Axial slice, Slice 80/155, Head, Image width 240 mm
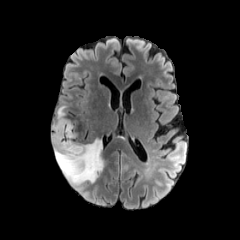
FLAIR MRI.
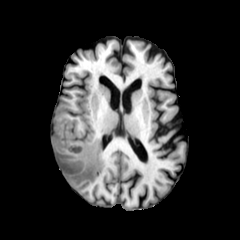
T1-weighted magnetic resonance.
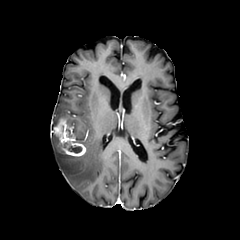
Post-contrast T1-weighted magnetic resonance.
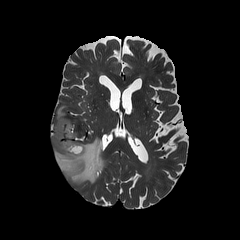
T2-weighted magnetic resonance.
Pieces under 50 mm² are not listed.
necrotic tumor core: (68,145,81,153) | peritumoral edema: (52,104,79,129), (52,133,104,185) | enhancing tumor: (53,119,86,156)